Head; 240x240; Axial slice
FLAIR MR.
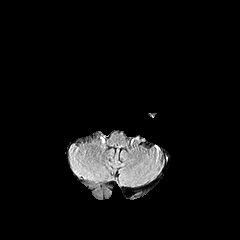
T1-weighted MR.
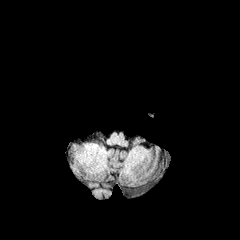
Post-contrast T1-weighted MR.
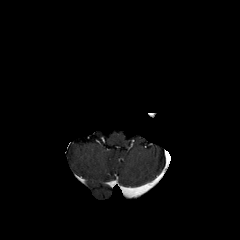
T2-weighted MR.
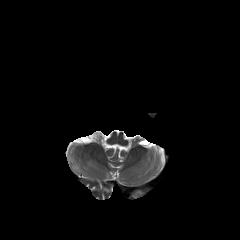
* enhancing tumor: bbox=[134, 187, 148, 196]